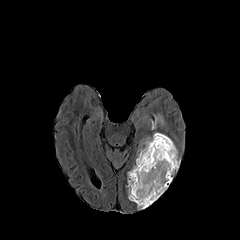
FLAIR MR image.
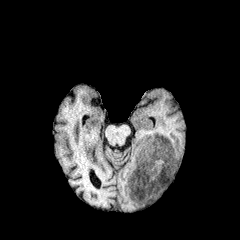
Same slice, T1-weighted MR.
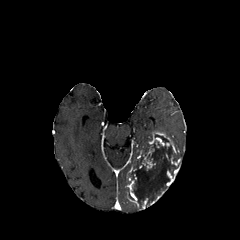
Post-contrast T1-weighted MRI.
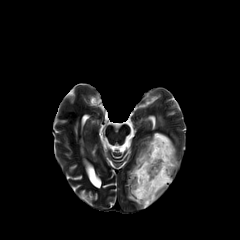
T2-weighted MRI.
240x240; Brain
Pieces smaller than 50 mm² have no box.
peritumoral edema: {"x1": 152, "y1": 115, "x2": 164, "y2": 129}, {"x1": 138, "y1": 138, "x2": 151, "y2": 154} | necrotic tumor core: {"x1": 127, "y1": 142, "x2": 177, "y2": 208} | enhancing tumor: {"x1": 147, "y1": 191, "x2": 164, "y2": 207}, {"x1": 126, "y1": 177, "x2": 139, "y2": 207}, {"x1": 148, "y1": 132, "x2": 176, "y2": 154}, {"x1": 166, "y1": 156, "x2": 179, "y2": 188}, {"x1": 139, "y1": 148, "x2": 155, "y2": 170}